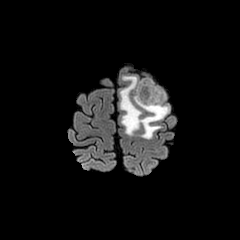
FLAIR MRI.
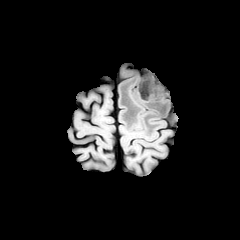
T1-weighted magnetic resonance.
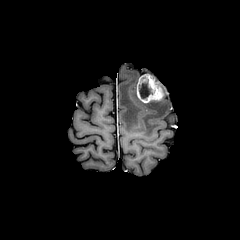
Post-contrast T1-weighted MRI of the same slice.
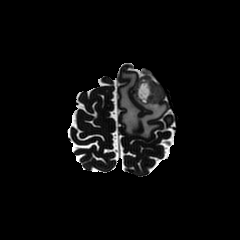
T2-weighted MR.
Axial slice, Brain
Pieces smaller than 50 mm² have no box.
necrotic tumor core: box=[138, 79, 152, 98] | peritumoral edema: box=[119, 75, 169, 138] | enhancing tumor: box=[136, 74, 165, 103]